FLAIR magnetic resonance.
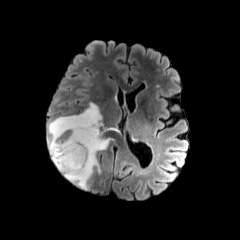
T1-weighted magnetic resonance.
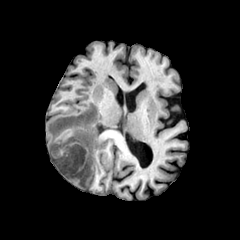
Post-contrast T1-weighted MRI.
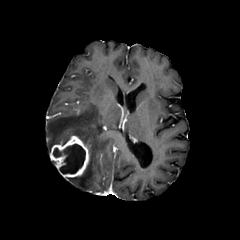
T2-weighted MR image.
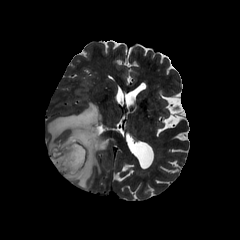
Brain
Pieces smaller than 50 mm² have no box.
enhancing tumor at bbox=[50, 135, 90, 177]
peritumoral edema at bbox=[48, 103, 109, 189]
necrotic tumor core at bbox=[53, 144, 85, 173]